Slice index 83
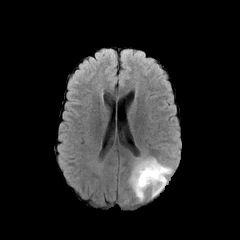
FLAIR MR image.
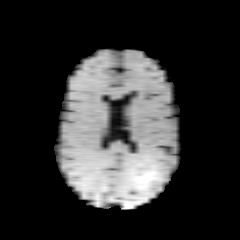
T1-weighted MRI.
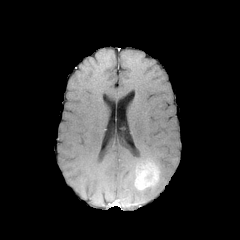
Same slice, post-contrast T1-weighted magnetic resonance.
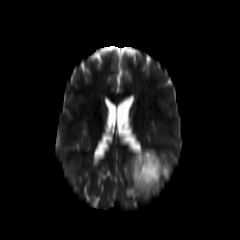
T2-weighted MR image of the same slice.
Annotated regions:
• peritumoral edema: box(129, 152, 172, 200)
• enhancing tumor: box(135, 161, 159, 190)